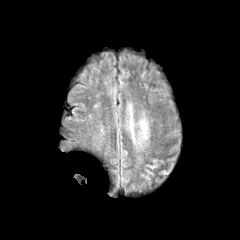
FLAIR MRI.
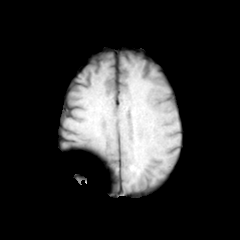
Same slice, T1-weighted MRI.
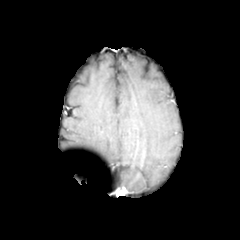
Post-contrast T1-weighted MR.
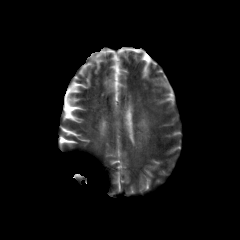
Same slice, T2-weighted MR.
Axial plane | Brain
{
  "peritumoral_edema": [
    "128 116 134 142",
    "140 119 147 138"
  ]
}